FLAIR MR image.
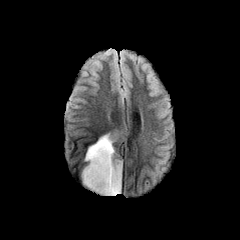
T1-weighted MRI.
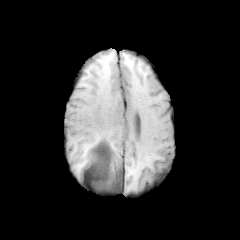
Post-contrast T1-weighted MRI.
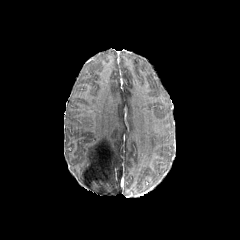
T2-weighted MR image.
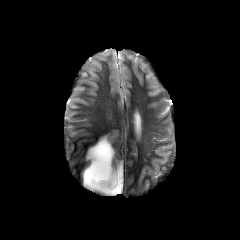
Axial view
Segmented structures:
* peritumoral edema: bbox=[82, 134, 122, 195]